FLAIR MR image.
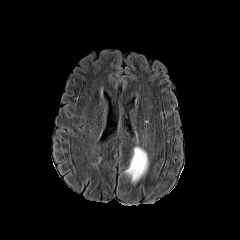
T1-weighted MR image.
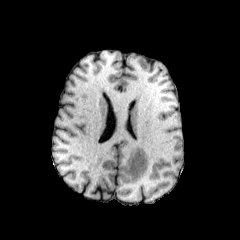
Post-contrast T1-weighted MRI.
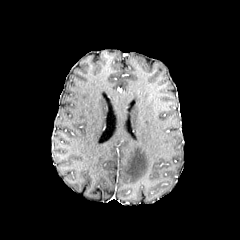
T2-weighted MRI.
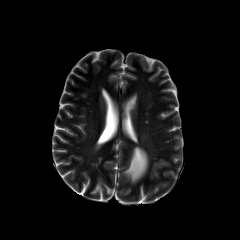
The peritumoral edema lies within (left=124, top=146, right=148, bottom=184).